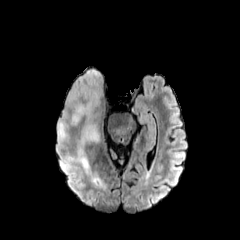
FLAIR MR.
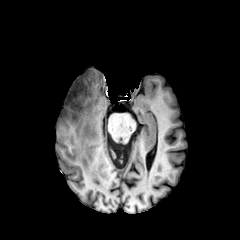
Same slice, T1-weighted MRI.
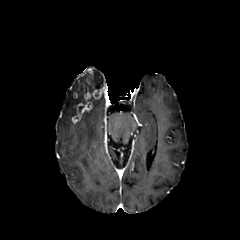
Post-contrast T1-weighted MRI.
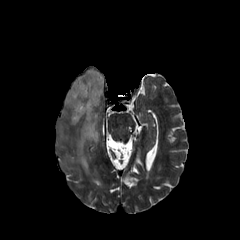
T2-weighted MR.
Image size 240x240
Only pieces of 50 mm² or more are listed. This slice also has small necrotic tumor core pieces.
peritumoral edema: 69, 99, 100, 169; 58, 78, 85, 139; 90, 68, 103, 88 | enhancing tumor: 71, 68, 103, 124